FLAIR MR image.
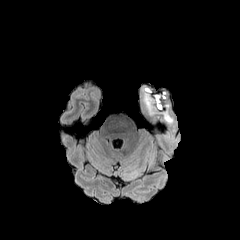
T1-weighted MR.
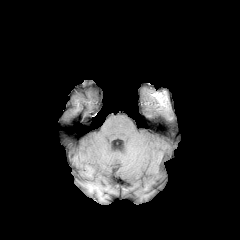
Post-contrast T1-weighted magnetic resonance.
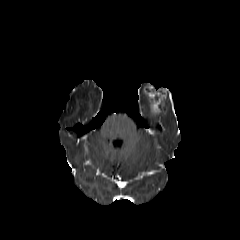
T2-weighted magnetic resonance.
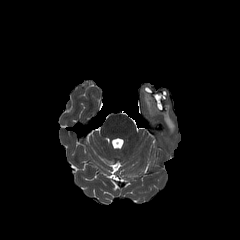
Head.
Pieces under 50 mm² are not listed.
Segmented structures:
- peritumoral edema: [164,105,170,123]
- enhancing tumor: [143,86,166,115]